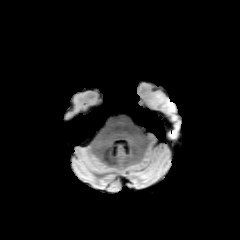
FLAIR MR image.
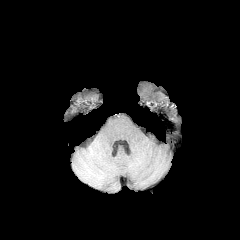
T1-weighted MR image of the same slice.
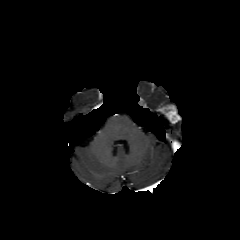
Post-contrast T1-weighted magnetic resonance.
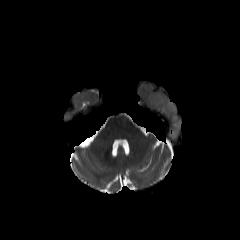
T2-weighted magnetic resonance.
Axial view
Findings:
• enhancing tumor: (x1=162, y1=105, x2=179, y2=123)
• peritumoral edema: (x1=169, y1=120, x2=178, y2=137), (x1=150, y1=93, x2=173, y2=109)